Image size 240x240, Brain, Slice 66 of 155
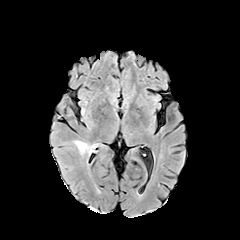
FLAIR magnetic resonance.
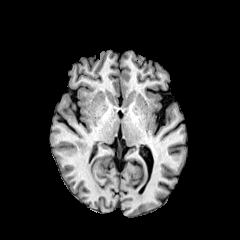
T1-weighted MR.
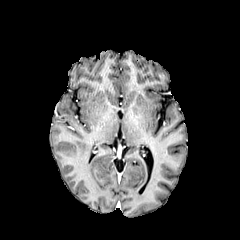
Same slice, post-contrast T1-weighted magnetic resonance.
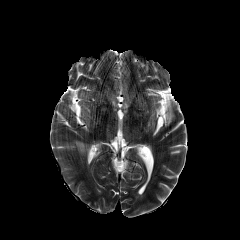
T2-weighted MR image.
The peritumoral edema is located at 75 141 94 153.